FLAIR MR.
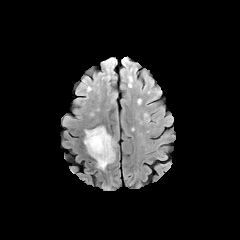
T1-weighted MR.
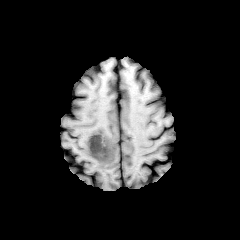
Post-contrast T1-weighted MR image.
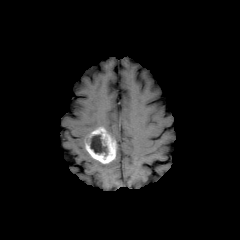
T2-weighted MR.
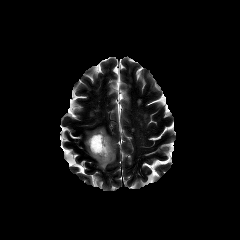
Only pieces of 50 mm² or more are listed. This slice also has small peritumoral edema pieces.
{"enhancing_tumor": ["rect(85, 127, 116, 163)"], "necrotic_tumor_core": ["rect(90, 135, 107, 153)"]}